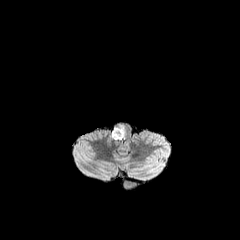
FLAIR MR.
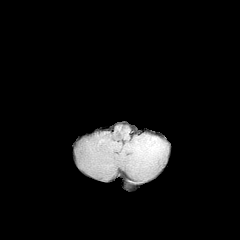
Same slice, T1-weighted MR.
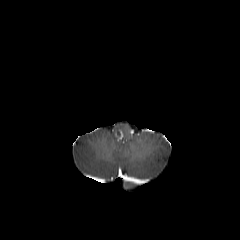
Same slice, post-contrast T1-weighted MR.
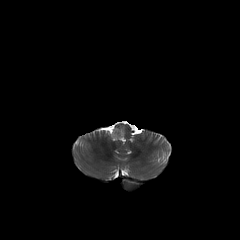
T2-weighted MR.
Axial view. Image size 240x240.
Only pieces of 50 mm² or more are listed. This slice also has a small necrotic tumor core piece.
The enhancing tumor appears at (left=114, top=129, right=123, bottom=140). The peritumoral edema is located at (left=111, top=123, right=125, bottom=140).